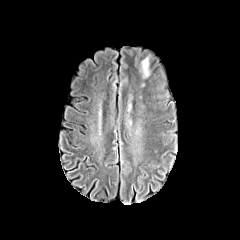
FLAIR MRI.
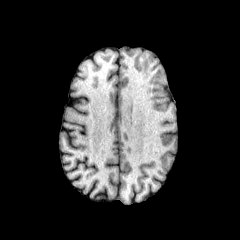
T1-weighted magnetic resonance.
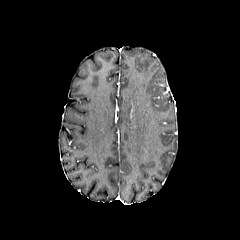
Post-contrast T1-weighted MRI of the same slice.
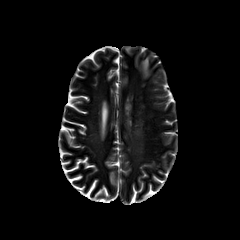
Same slice, T2-weighted MR image.
240x240. Axial view.
The peritumoral edema is bounded by 142:58:148:76.